240x240. Slice 92/155.
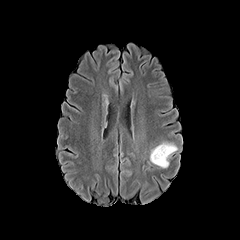
FLAIR MRI.
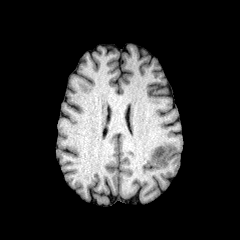
T1-weighted MR of the same slice.
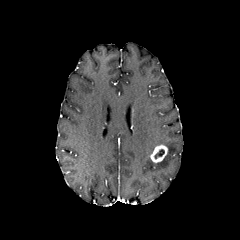
Post-contrast T1-weighted MR image of the same slice.
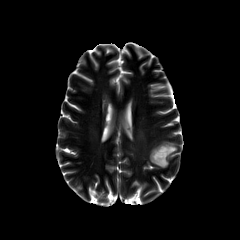
T2-weighted magnetic resonance of the same slice.
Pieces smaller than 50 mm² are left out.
The necrotic tumor core is bounded by 154 149 164 158. The largest peritumoral edema region lies within 150 142 177 168. The enhancing tumor lies within 150 145 167 162.